Image size 240x240 | Slice 44/155 | Image width 240 mm
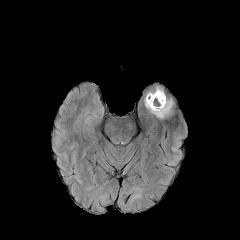
FLAIR magnetic resonance.
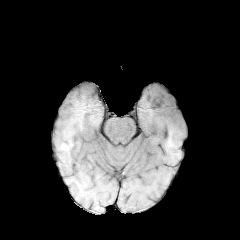
Same slice, T1-weighted MRI.
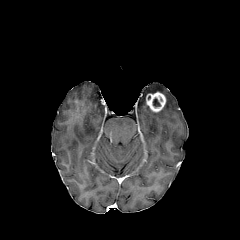
Same slice, post-contrast T1-weighted MR image.
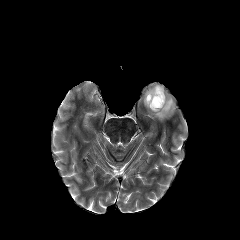
Same slice, T2-weighted MR image.
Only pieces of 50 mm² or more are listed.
necrotic tumor core: (153,98,160,107) | enhancing tumor: (146,92,165,112) | peritumoral edema: (146,86,164,95), (144,97,173,119)